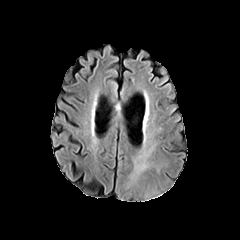
FLAIR magnetic resonance.
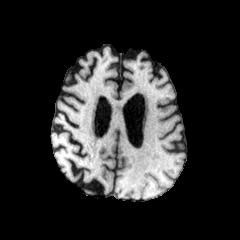
T1-weighted magnetic resonance of the same slice.
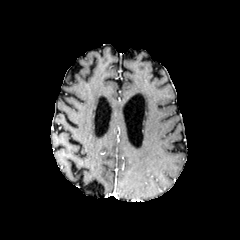
Post-contrast T1-weighted MRI.
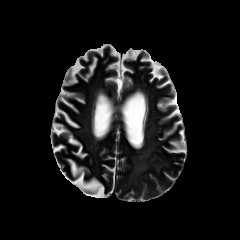
T2-weighted MR.
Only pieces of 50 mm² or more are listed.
The largest peritumoral edema region is bounded by bbox(134, 163, 147, 169).